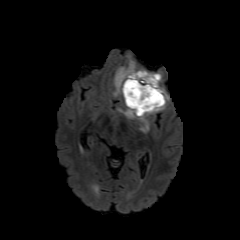
FLAIR MR.
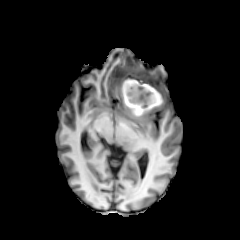
T1-weighted MRI of the same slice.
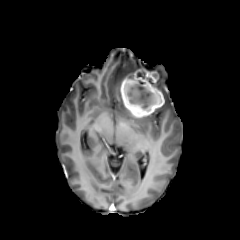
Same slice, post-contrast T1-weighted magnetic resonance.
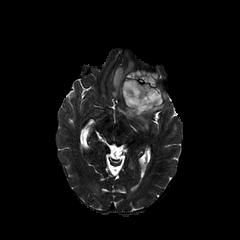
Same slice, T2-weighted magnetic resonance.
Head | Axial slice
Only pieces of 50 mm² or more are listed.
The enhancing tumor appears at x1=120, y1=68, x2=164, y2=117. 4 peritumoral edema regions appear at x1=113, y1=59, x2=135, y2=96; x1=153, y1=73, x2=169, y2=112; x1=117, y1=108, x2=135, y2=118; x1=137, y1=117, x2=149, y2=132. The 2 largest necrotic tumor core regions appear at x1=137, y1=71, x2=145, y2=78; x1=124, y1=80, x2=160, y2=112.